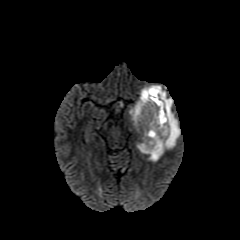
FLAIR MRI.
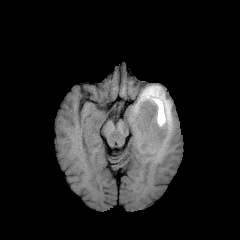
T1-weighted MRI.
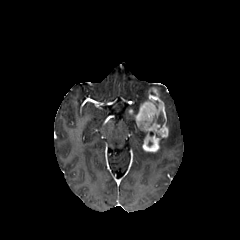
Same slice, post-contrast T1-weighted magnetic resonance.
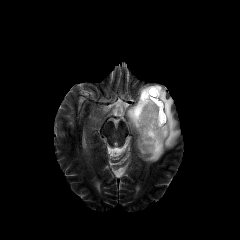
T2-weighted MR image of the same slice.
Image size 240x240; Brain
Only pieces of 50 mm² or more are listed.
<segmentation>
  <enhancing_tumor>l=134, t=87, r=168, b=152</enhancing_tumor>
  <necrotic_tumor_core>l=157, t=111, r=164, b=126</necrotic_tumor_core>
  <peritumoral_edema>l=128, t=85, r=180, b=161</peritumoral_edema>
</segmentation>